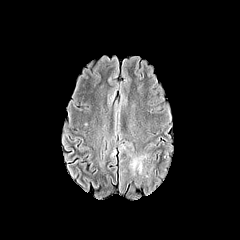
FLAIR MR image.
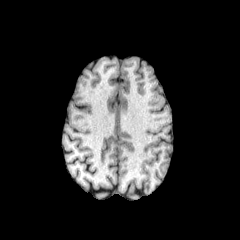
T1-weighted MR.
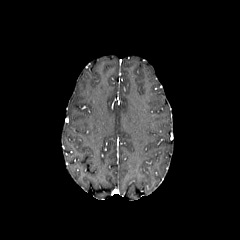
Same slice, post-contrast T1-weighted MR.
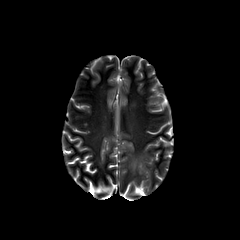
T2-weighted MR image.
peritumoral edema: bounding box 130:158:142:172